FLAIR MR.
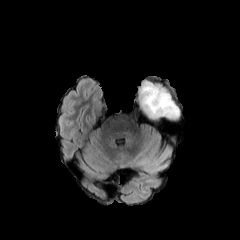
T1-weighted magnetic resonance.
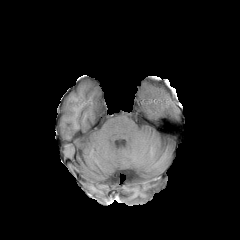
Post-contrast T1-weighted MRI.
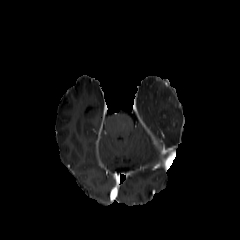
T2-weighted MR.
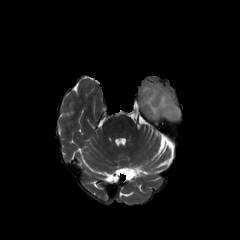
Axial slice; Head; 240x240
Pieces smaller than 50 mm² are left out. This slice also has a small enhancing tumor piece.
{"peritumoral_edema": ["rect(139, 82, 179, 125)", "rect(166, 135, 175, 142)"]}